Slice 116/155 | Brain | Axial slice
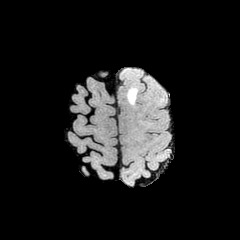
FLAIR MR image.
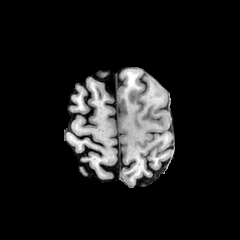
T1-weighted magnetic resonance.
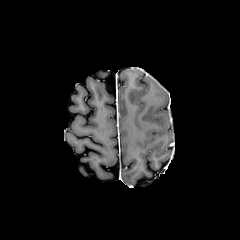
Post-contrast T1-weighted magnetic resonance.
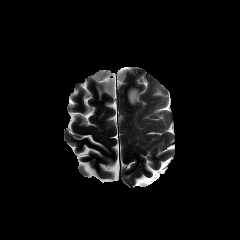
Same slice, T2-weighted magnetic resonance.
peritumoral edema at <box>127,88,137,104</box>